Image covers 240 mm x 240 mm, Slice 63 of 155, Head
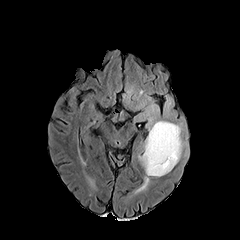
FLAIR MR.
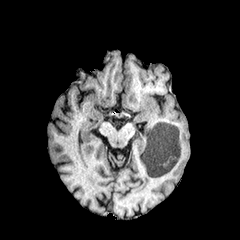
T1-weighted MR.
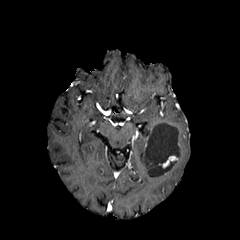
Post-contrast T1-weighted MRI.
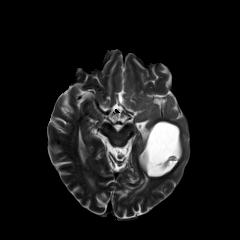
T2-weighted MRI.
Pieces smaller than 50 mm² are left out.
Annotated regions:
- necrotic tumor core: <box>145,122,180,175</box>
- peritumoral edema: <box>171,123,184,160</box>, <box>144,103,170,135</box>, <box>138,138,165,190</box>
- enhancing tumor: <box>159,155,178,168</box>